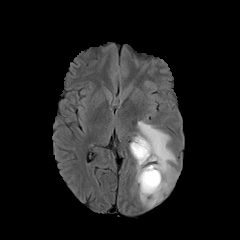
FLAIR magnetic resonance.
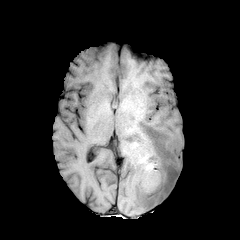
Same slice, T1-weighted MR.
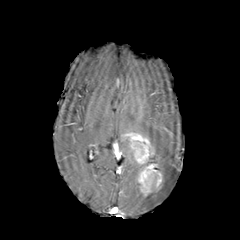
Post-contrast T1-weighted MRI.
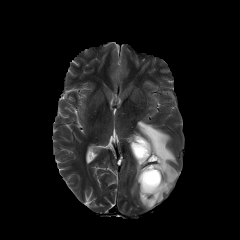
T2-weighted MR image.
240x240
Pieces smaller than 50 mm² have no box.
The largest peritumoral edema region appears at (129, 120, 178, 208). 2 enhancing tumor regions are bounded by (130, 134, 153, 164), (138, 163, 162, 196). The necrotic tumor core lies within (144, 173, 157, 189).